FLAIR magnetic resonance.
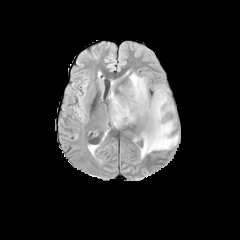
T1-weighted magnetic resonance.
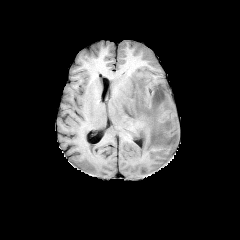
Post-contrast T1-weighted MR image.
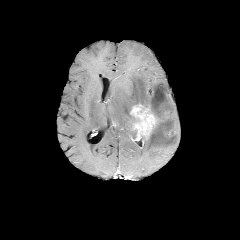
T2-weighted MR image.
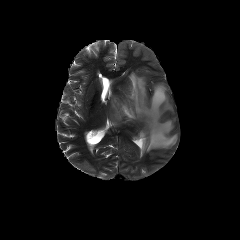
Axial plane.
enhancing_tumor:
  - <bbox>130, 104, 156, 139</bbox>
peritumoral_edema:
  - <bbox>111, 73, 178, 157</bbox>